Head. Image width 240 mm. Axial slice.
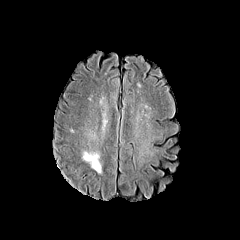
FLAIR MRI.
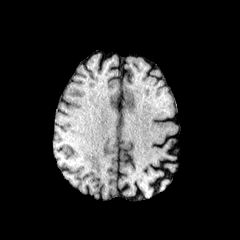
T1-weighted magnetic resonance.
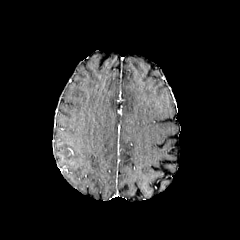
Post-contrast T1-weighted MR of the same slice.
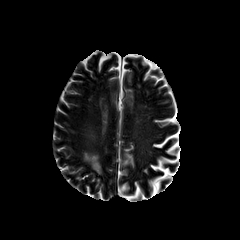
T2-weighted MR image.
* peritumoral edema: region(83, 152, 101, 173)